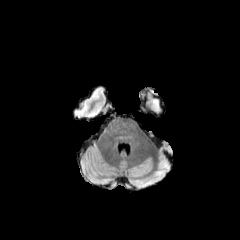
FLAIR MRI.
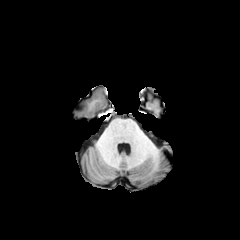
T1-weighted MR.
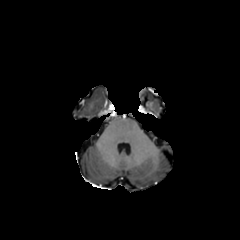
Same slice, post-contrast T1-weighted MRI.
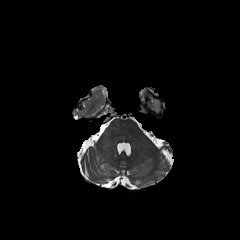
T2-weighted MR image.
Head
* peritumoral edema: {"x1": 148, "y1": 95, "x2": 159, "y2": 111}